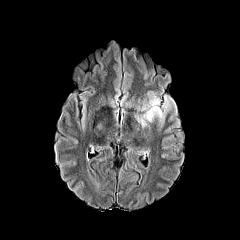
FLAIR MR.
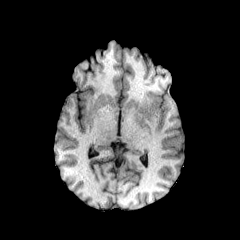
Same slice, T1-weighted MR image.
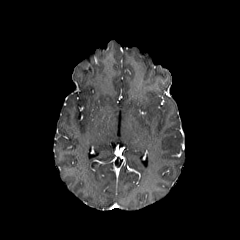
Same slice, post-contrast T1-weighted MRI.
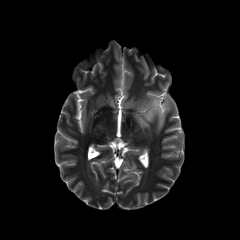
T2-weighted MR.
Axial plane
* peritumoral edema: [136, 96, 170, 127]